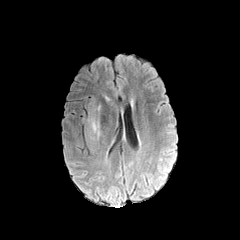
FLAIR magnetic resonance.
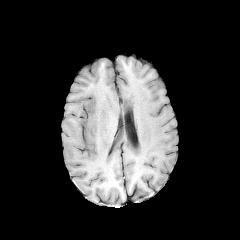
T1-weighted MR image of the same slice.
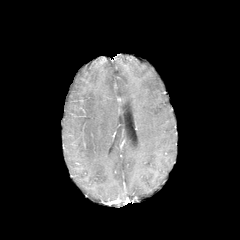
Post-contrast T1-weighted MR of the same slice.
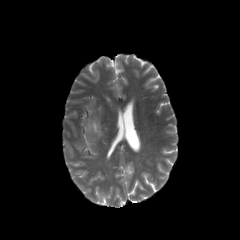
T2-weighted MR.
Axial slice
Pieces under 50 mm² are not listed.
peritumoral edema: (x1=87, y1=116, x2=100, y2=137)